Head. Axial plane. Slice 44 of 155.
FLAIR magnetic resonance.
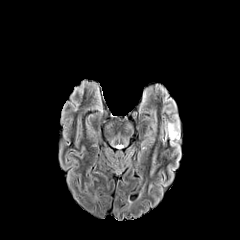
T1-weighted magnetic resonance.
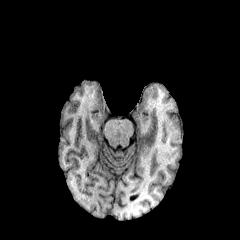
Post-contrast T1-weighted MR.
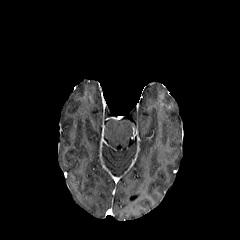
T2-weighted magnetic resonance.
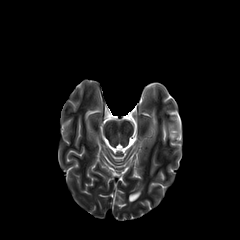
peritumoral edema at (left=168, top=123, right=179, bottom=140)